Axial view | Brain | Slice 118 of 155
FLAIR MRI.
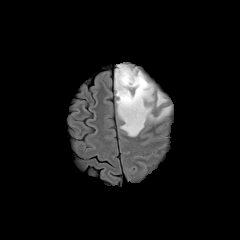
T1-weighted MRI.
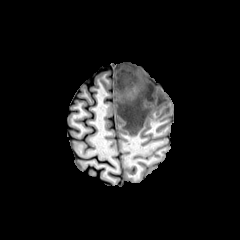
Post-contrast T1-weighted MR.
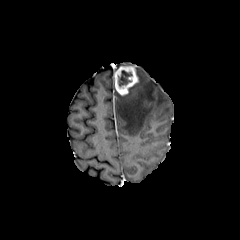
T2-weighted magnetic resonance.
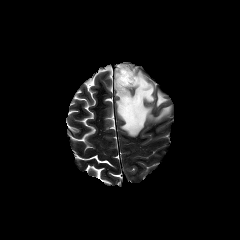
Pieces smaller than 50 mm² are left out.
The necrotic tumor core lies within left=119, top=70, right=132, bottom=87. The enhancing tumor lies within left=114, top=65, right=138, bottom=95. The 2 largest peritumoral edema regions appear at left=115, top=67, right=171, bottom=136; left=155, top=91, right=167, bottom=107.